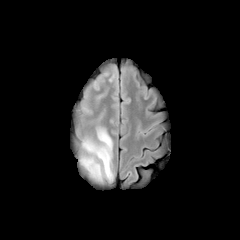
FLAIR MR image.
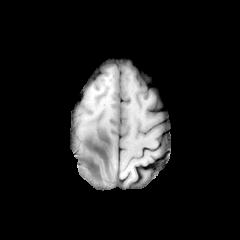
T1-weighted magnetic resonance of the same slice.
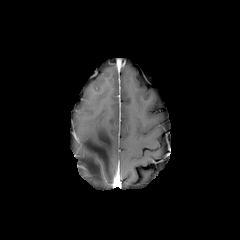
Same slice, post-contrast T1-weighted magnetic resonance.
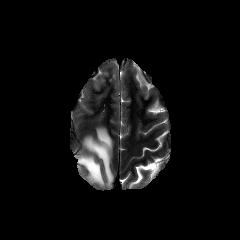
T2-weighted magnetic resonance.
Brain. 240x240.
Annotated regions:
- peritumoral edema: l=79, t=127, r=113, b=182